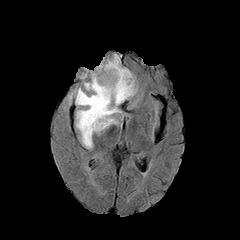
FLAIR magnetic resonance.
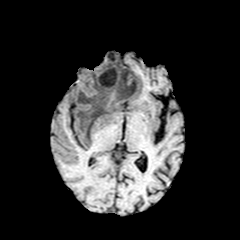
T1-weighted magnetic resonance.
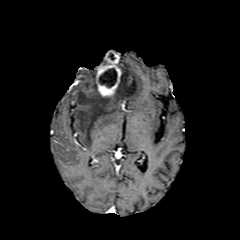
Post-contrast T1-weighted MR image.
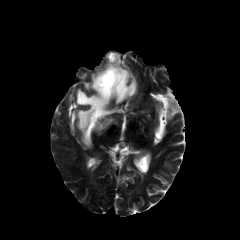
Same slice, T2-weighted MR.
Axial plane. 240x240 px. Brain.
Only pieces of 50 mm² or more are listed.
The largest necrotic tumor core region is at [99,68,116,87]. The largest peritumoral edema region is at [75,60,137,148]. The enhancing tumor appears at [95,51,121,97].